240x240 px; Slice index 33; Image width 240 mm, 1.00 mm slice spacing
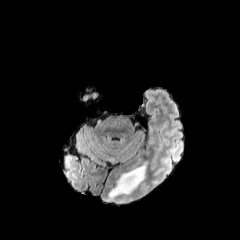
FLAIR magnetic resonance.
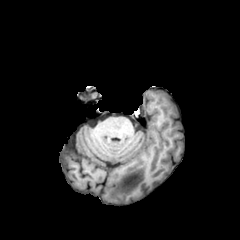
T1-weighted MR.
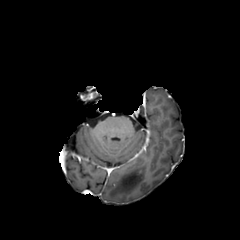
Post-contrast T1-weighted MR.
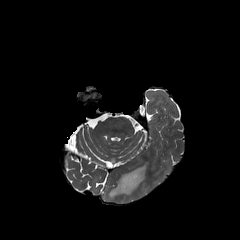
T2-weighted MR.
The peritumoral edema is at box(109, 161, 147, 199).